Brain. Slice index 73.
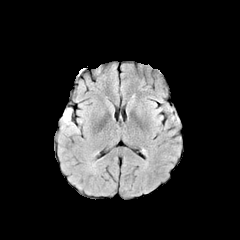
FLAIR MR.
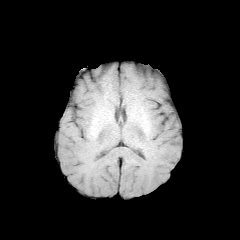
T1-weighted MRI.
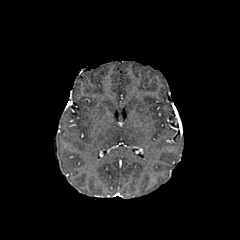
Post-contrast T1-weighted MR image.
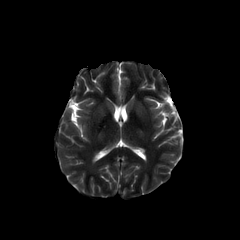
T2-weighted MR image.
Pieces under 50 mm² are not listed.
peritumoral edema at l=61, t=108, r=78, b=132